Head
FLAIR magnetic resonance.
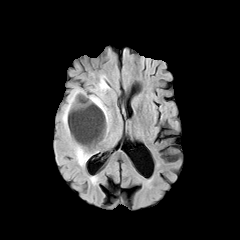
T1-weighted MR.
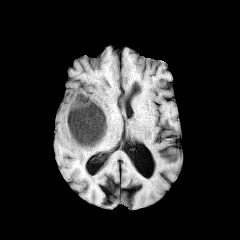
Post-contrast T1-weighted MR image.
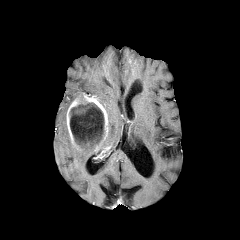
T2-weighted MRI.
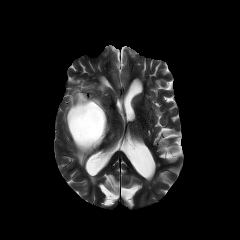
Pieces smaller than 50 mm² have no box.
necrotic tumor core = box=[70, 103, 104, 148]
peritumoral edema = box=[62, 87, 104, 165]; box=[92, 80, 110, 130]
enhancing tumor = box=[66, 93, 108, 149]